240x240 px, Head
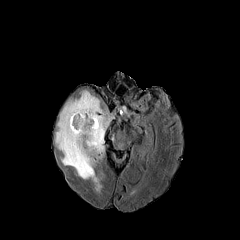
FLAIR magnetic resonance.
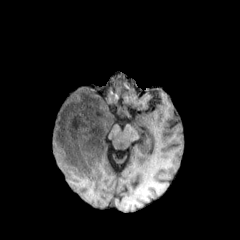
T1-weighted MRI of the same slice.
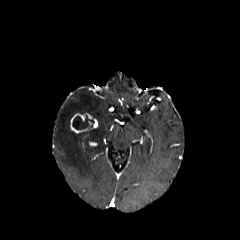
Post-contrast T1-weighted magnetic resonance of the same slice.
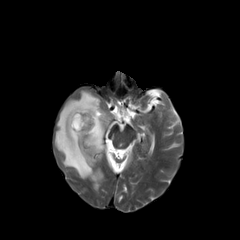
Same slice, T2-weighted MR.
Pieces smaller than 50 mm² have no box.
The necrotic tumor core is located at <bbox>72, 115, 94, 129</bbox>. The peritumoral edema is bounded by <bbox>55, 89, 114, 193</bbox>. The largest enhancing tumor region lies within <bbox>70, 113, 97, 133</bbox>.